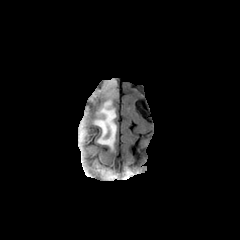
FLAIR MR image.
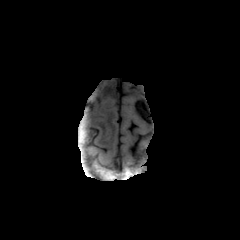
Same slice, T1-weighted MR.
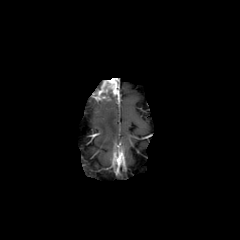
Same slice, post-contrast T1-weighted MR.
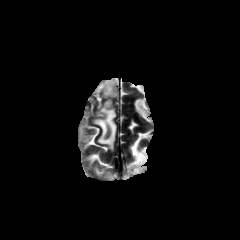
T2-weighted magnetic resonance of the same slice.
Axial slice | 240x240 px
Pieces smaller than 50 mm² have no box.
The largest peritumoral edema region lies within {"x1": 92, "y1": 97, "x2": 117, "y2": 152}. The enhancing tumor lies within {"x1": 92, "y1": 78, "x2": 119, "y2": 101}.